FLAIR MR.
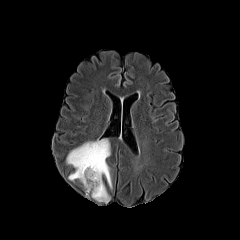
T1-weighted MRI.
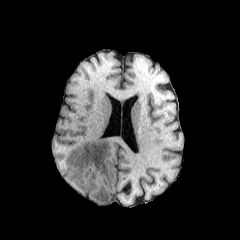
Post-contrast T1-weighted magnetic resonance.
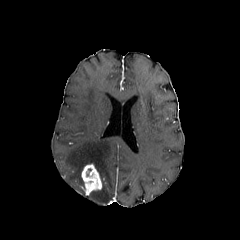
T2-weighted MR.
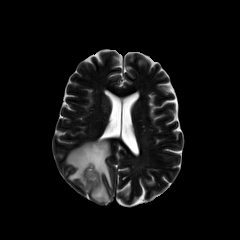
Image size 240x240; Brain
Segmented structures:
- necrotic tumor core: x1=85, y1=167, x2=96, y2=178
- peritumoral edema: x1=66, y1=139, x2=112, y2=188; x1=91, y1=181, x2=110, y2=202
- enhancing tumor: x1=81, y1=163, x2=102, y2=194